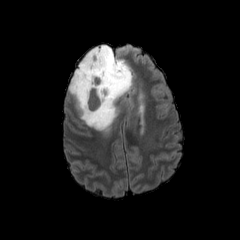
FLAIR MRI.
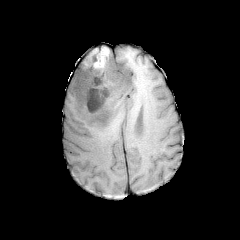
Same slice, T1-weighted MR.
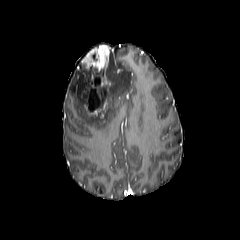
Post-contrast T1-weighted MRI of the same slice.
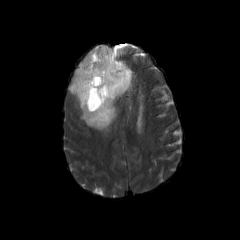
T2-weighted MRI.
Brain. Axial slice.
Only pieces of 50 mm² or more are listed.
{
  "peritumoral_edema": [
    "left=68, top=48, right=132, bottom=132"
  ],
  "necrotic_tumor_core": [
    "left=88, top=89, right=100, bottom=110",
    "left=95, top=77, right=100, bottom=87"
  ],
  "enhancing_tumor": [
    "left=91, top=75, right=102, bottom=100",
    "left=81, top=45, right=109, bottom=85",
    "left=85, top=100, right=107, bottom=119"
  ]
}